FLAIR magnetic resonance.
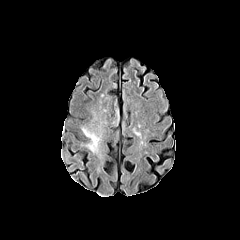
T1-weighted MR.
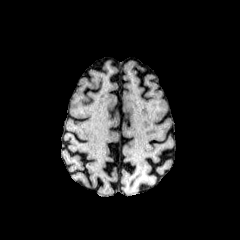
Post-contrast T1-weighted MR.
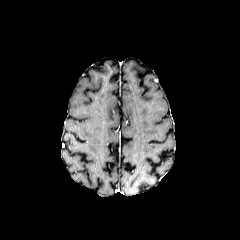
T2-weighted magnetic resonance.
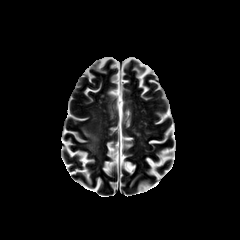
Axial plane; Brain
<segmentation>
  <peritumoral_edema>{"x1": 83, "y1": 129, "x2": 98, "y2": 151}</peritumoral_edema>
</segmentation>